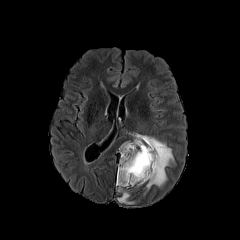
FLAIR MR.
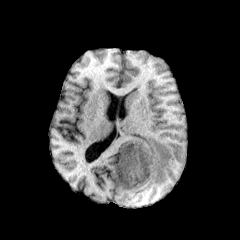
T1-weighted MR image of the same slice.
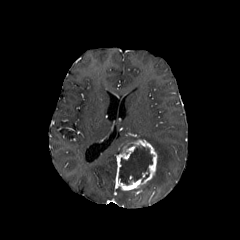
Same slice, post-contrast T1-weighted MR image.
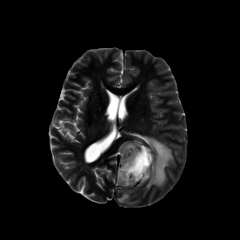
T2-weighted magnetic resonance of the same slice.
Image size 240x240
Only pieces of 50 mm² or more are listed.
{
  "necrotic_tumor_core": [
    "119:146:152:184"
  ],
  "peritumoral_edema": [
    "133:134:173:189",
    "117:188:134:204"
  ],
  "enhancing_tumor": [
    "116:139:157:190"
  ]
}